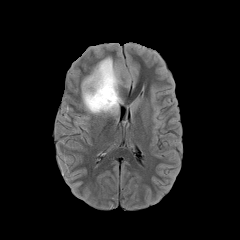
FLAIR MR.
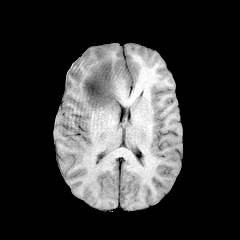
T1-weighted MRI.
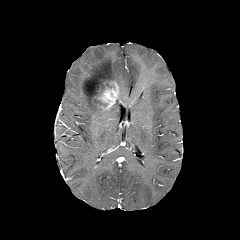
Same slice, post-contrast T1-weighted MR.
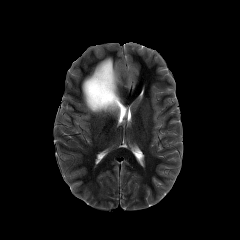
T2-weighted MR image.
Brain
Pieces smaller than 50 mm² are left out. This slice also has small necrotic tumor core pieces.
enhancing_tumor:
  - (94, 81, 118, 109)
peritumoral_edema:
  - (82, 57, 122, 114)